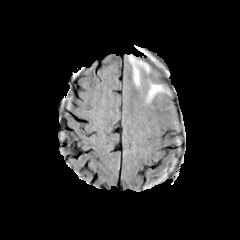
FLAIR MR image.
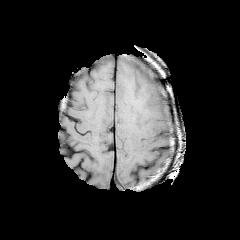
Same slice, T1-weighted MRI.
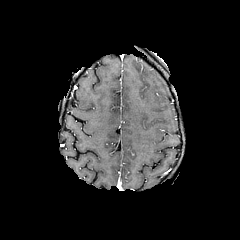
Post-contrast T1-weighted MR image.
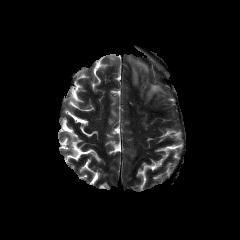
T2-weighted magnetic resonance.
Image size 240x240 | Axial plane | Brain
2 peritumoral edema regions appear at bbox(130, 57, 148, 84); bbox(148, 84, 162, 99).